Head; 240x240 px; Axial plane
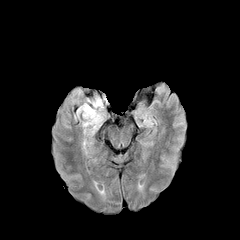
FLAIR MR image.
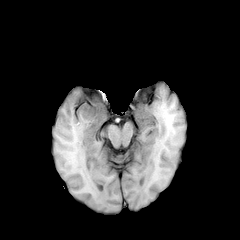
Same slice, T1-weighted MRI.
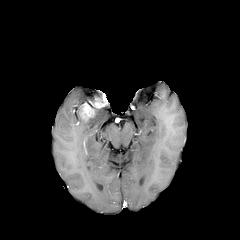
Same slice, post-contrast T1-weighted MRI.
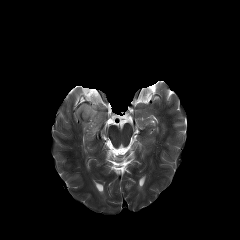
Same slice, T2-weighted magnetic resonance.
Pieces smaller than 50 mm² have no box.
Findings:
- enhancing tumor: <box>78,96,105,119</box>
- peritumoral edema: <box>83,111,102,130</box>